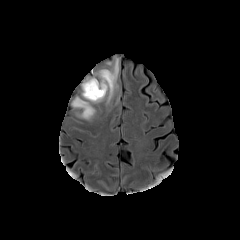
FLAIR magnetic resonance.
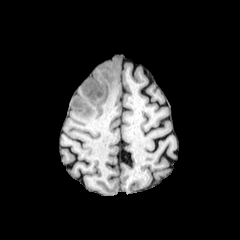
T1-weighted magnetic resonance.
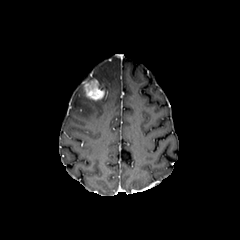
Post-contrast T1-weighted MR image.
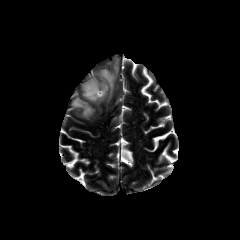
Same slice, T2-weighted MRI.
Axial view; Head
The peritumoral edema is located at <bbox>71, 57, 119, 119</bbox>. The enhancing tumor is at <bbox>85, 80, 104, 100</bbox>.